Axial view | Image size 240x240 | Slice 140 of 155 | Image covers 240 mm x 240 mm
FLAIR magnetic resonance.
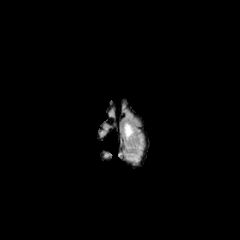
T1-weighted MRI.
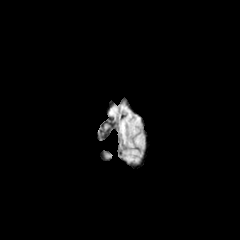
Post-contrast T1-weighted MR.
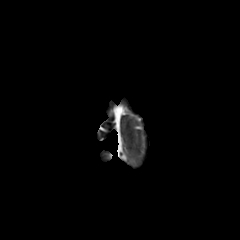
T2-weighted MRI.
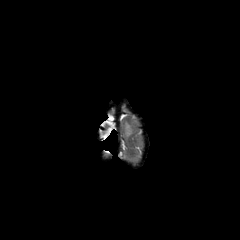
peritumoral_edema:
  - [123,121,135,139]